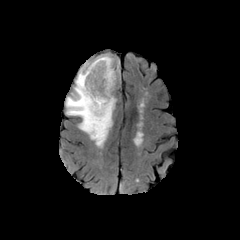
FLAIR MR.
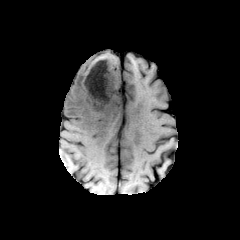
T1-weighted magnetic resonance.
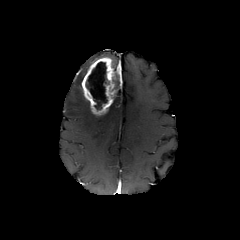
Post-contrast T1-weighted MRI of the same slice.
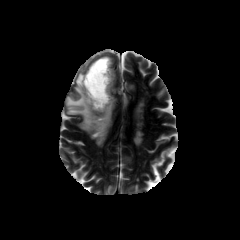
T2-weighted magnetic resonance.
Axial plane, 240x240
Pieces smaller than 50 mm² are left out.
necrotic tumor core at 86, 62, 107, 109
enhancing tumor at 81, 57, 120, 115
peritumoral edema at 65, 53, 119, 147